Axial slice; 240x240; Image width 240 mm, 1.00 mm slice spacing
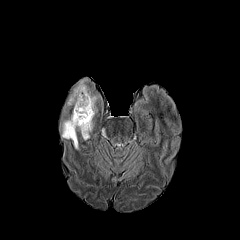
FLAIR magnetic resonance.
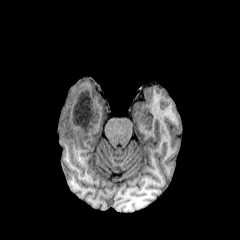
T1-weighted MR image.
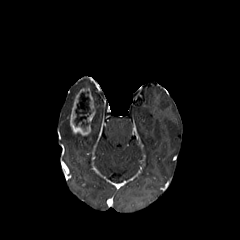
Post-contrast T1-weighted MRI of the same slice.
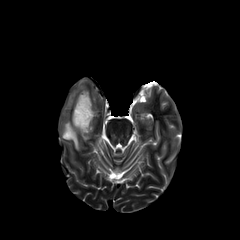
T2-weighted MRI of the same slice.
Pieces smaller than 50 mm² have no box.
peritumoral edema = [x1=62, y1=120, x2=79, y2=149], [x1=91, y1=90, x2=100, y2=113], [x1=64, y1=78, x2=88, y2=112]
necrotic tumor core = [x1=74, y1=91, x2=91, y2=127]
enhancing tumor = [x1=70, y1=88, x2=95, y2=135]